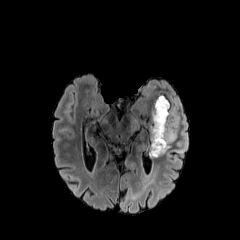
FLAIR MR.
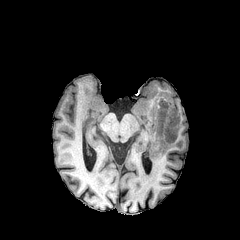
T1-weighted magnetic resonance.
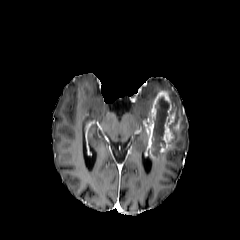
Same slice, post-contrast T1-weighted MR image.
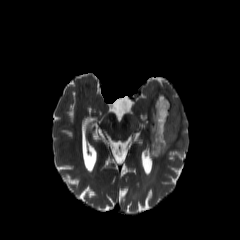
T2-weighted MR image.
240x240 | Axial slice
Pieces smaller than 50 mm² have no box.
The largest necrotic tumor core region is at (152, 97, 169, 155). The peritumoral edema is located at (147, 88, 188, 168). The enhancing tumor is located at (146, 91, 180, 159).